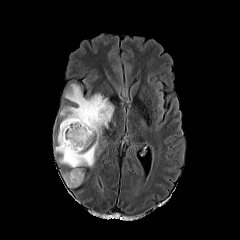
FLAIR MR image.
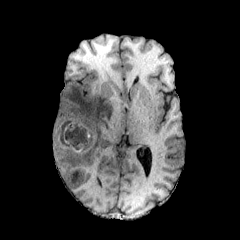
T1-weighted MR image.
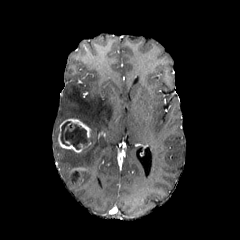
Post-contrast T1-weighted MRI.
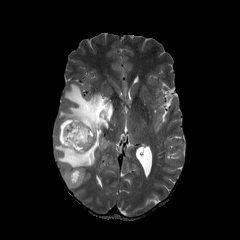
T2-weighted magnetic resonance.
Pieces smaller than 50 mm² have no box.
Annotated regions:
- peritumoral edema: (left=63, top=171, right=84, bottom=187), (left=54, top=83, right=113, bottom=168)
- enhancing tumor: (left=58, top=118, right=90, bottom=152)
- necrotic tumor core: (left=73, top=171, right=80, bottom=180), (left=60, top=121, right=91, bottom=149)